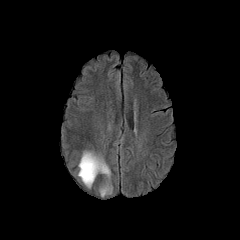
FLAIR MRI.
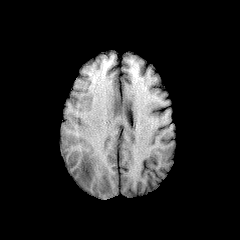
T1-weighted magnetic resonance.
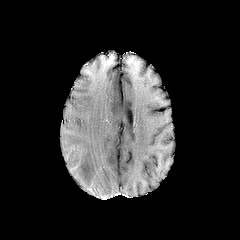
Post-contrast T1-weighted MR.
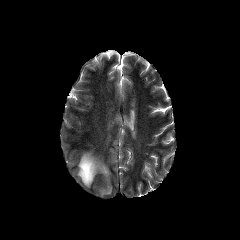
Same slice, T2-weighted MR.
Head.
2 peritumoral edema regions are bounded by (100, 186, 110, 195), (78, 152, 110, 187).